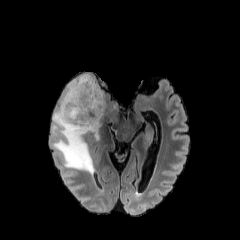
FLAIR MR image.
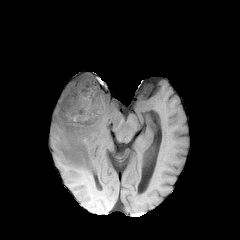
T1-weighted MRI.
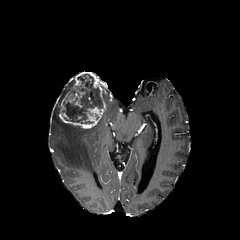
Post-contrast T1-weighted MR.
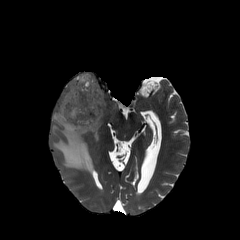
Same slice, T2-weighted MR.
Axial plane, Head
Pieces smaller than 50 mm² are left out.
<segmentation>
  <enhancing_tumor>58,72,105,128</enhancing_tumor>
  <peritumoral_edema>52,78,104,172</peritumoral_edema>
  <necrotic_tumor_core>62,74,102,123</necrotic_tumor_core>
</segmentation>